FLAIR MR image.
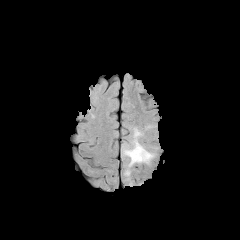
T1-weighted MRI.
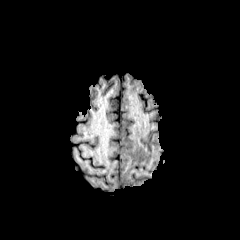
Post-contrast T1-weighted magnetic resonance.
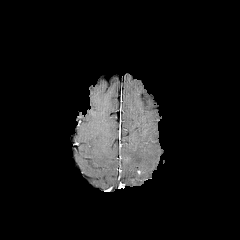
T2-weighted magnetic resonance.
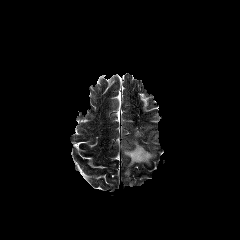
Brain
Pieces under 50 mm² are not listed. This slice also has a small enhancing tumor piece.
- peritumoral edema: (122, 128, 154, 166)